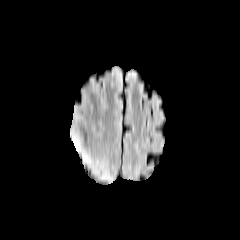
FLAIR MR.
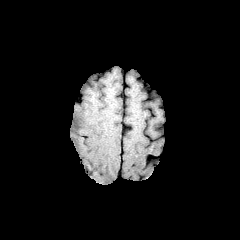
Same slice, T1-weighted MRI.
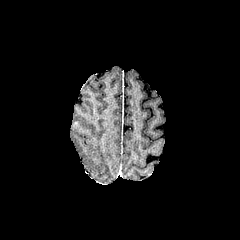
Same slice, post-contrast T1-weighted MR.
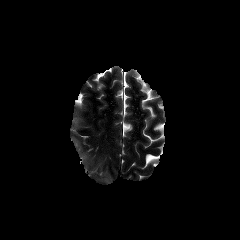
T2-weighted MRI of the same slice.
Image size 240x240
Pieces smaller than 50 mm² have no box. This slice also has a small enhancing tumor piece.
Findings:
* peritumoral edema: bbox(95, 162, 111, 180); bbox(70, 111, 92, 164)